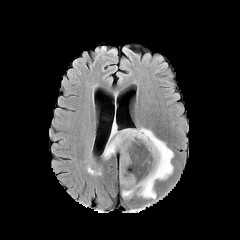
FLAIR MR.
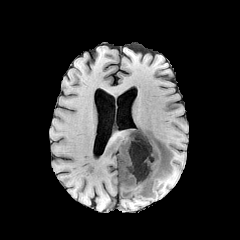
T1-weighted magnetic resonance of the same slice.
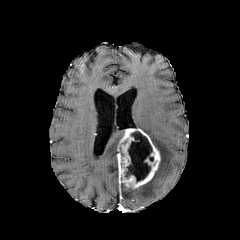
Same slice, post-contrast T1-weighted MRI.
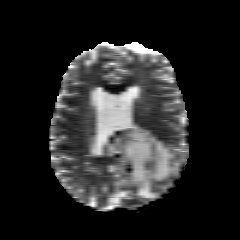
T2-weighted MR.
Axial plane; 240x240 px; Head
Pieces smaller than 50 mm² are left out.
The largest necrotic tumor core region lies within [125,131,152,181]. The enhancing tumor lies within [118,128,160,188]. The 4 largest peritumoral edema regions appear at [136,127,173,199], [110,124,117,138], [103,130,124,158], [122,188,135,198].